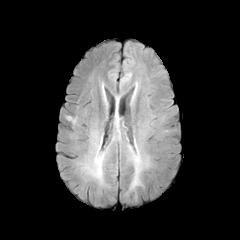
FLAIR MR.
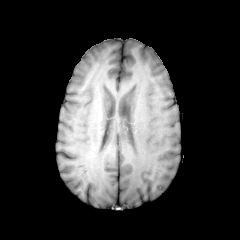
Same slice, T1-weighted magnetic resonance.
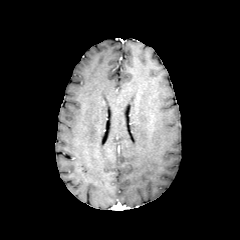
Post-contrast T1-weighted MR.
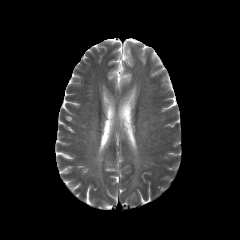
T2-weighted MR.
Image size 240x240; Axial view
peritumoral edema = l=94, t=156, r=102, b=177; l=130, t=155, r=141, b=188